Brain | Slice 65 of 155 | Axial slice | Image covers 240 mm x 240 mm
FLAIR MR.
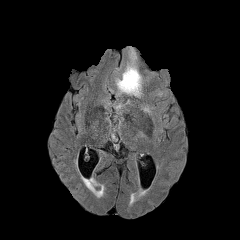
T1-weighted MR image.
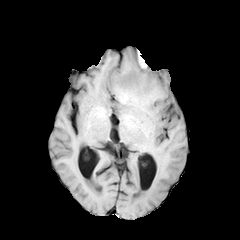
Post-contrast T1-weighted magnetic resonance.
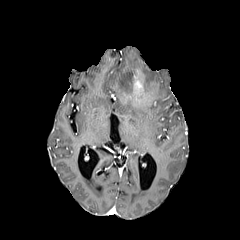
T2-weighted magnetic resonance.
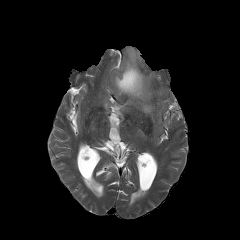
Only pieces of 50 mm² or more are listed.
enhancing tumor — bbox(133, 70, 142, 95)
peritumoral edema — bbox(116, 50, 142, 97)